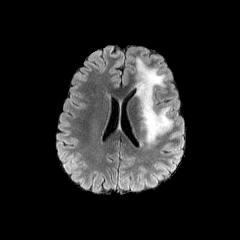
FLAIR MRI.
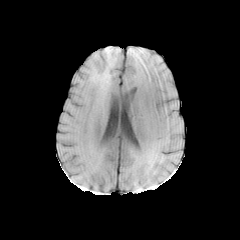
T1-weighted magnetic resonance.
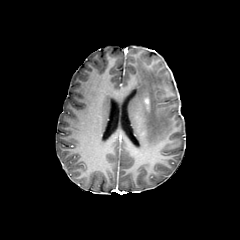
Same slice, post-contrast T1-weighted MR image.
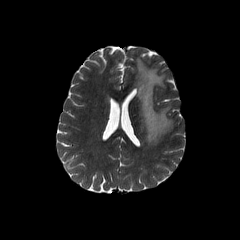
T2-weighted MR.
Brain.
<segmentation>
  <enhancing_tumor>x1=143 y1=94 x2=150 y2=110</enhancing_tumor>
  <peritumoral_edema>x1=134 y1=58 x2=172 y2=147</peritumoral_edema>
</segmentation>